240x240
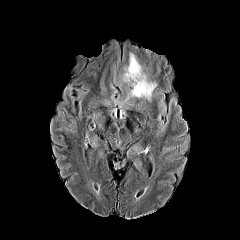
FLAIR MR image.
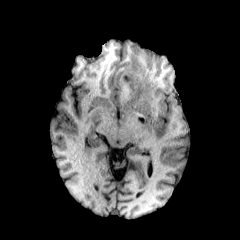
T1-weighted magnetic resonance.
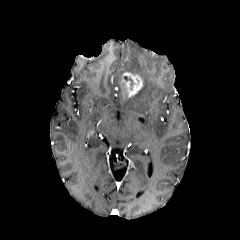
Post-contrast T1-weighted magnetic resonance.
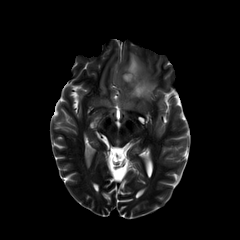
T2-weighted MR image of the same slice.
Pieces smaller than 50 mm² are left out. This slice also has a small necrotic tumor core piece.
* enhancing tumor: [x1=122, y1=72, x2=142, y2=96]
* peritumoral edema: [x1=125, y1=53, x2=156, y2=100]